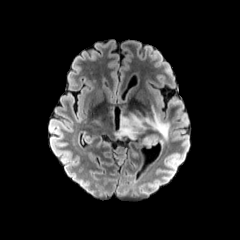
FLAIR magnetic resonance.
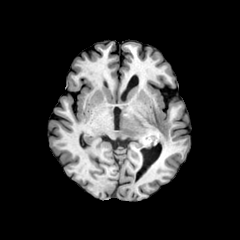
T1-weighted MR.
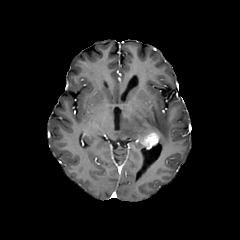
Same slice, post-contrast T1-weighted magnetic resonance.
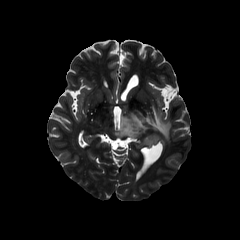
T2-weighted magnetic resonance.
Brain.
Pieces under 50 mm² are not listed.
The largest peritumoral edema region is located at [115,106,170,140]. The enhancing tumor is at [142,132,158,148].